Brain. Slice 128 of 155. 240x240 px. Axial plane.
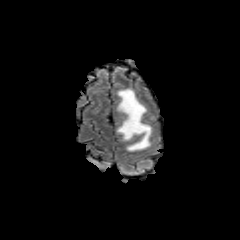
FLAIR MRI.
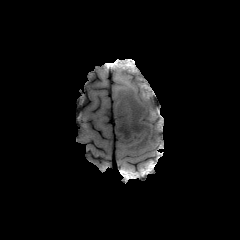
T1-weighted MR image.
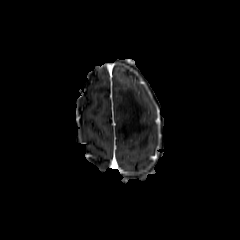
Post-contrast T1-weighted MRI of the same slice.
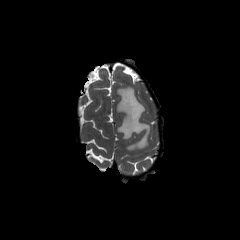
Same slice, T2-weighted MR image.
peritumoral edema — box(116, 88, 151, 151)